FLAIR MR image.
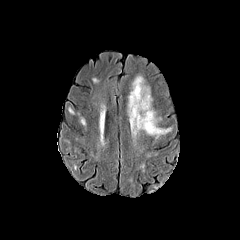
T1-weighted MRI.
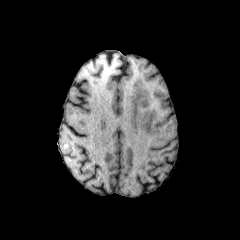
Post-contrast T1-weighted MR image.
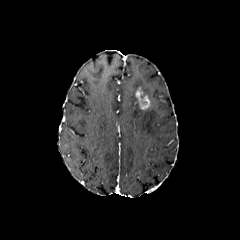
T2-weighted magnetic resonance.
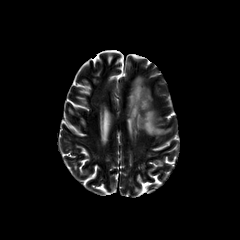
Axial slice
The enhancing tumor lies within bbox=[135, 87, 150, 109]. The peritumoral edema is at bbox=[128, 75, 171, 138].